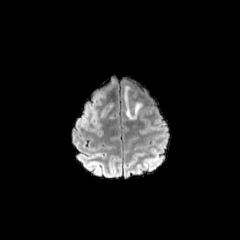
FLAIR MRI.
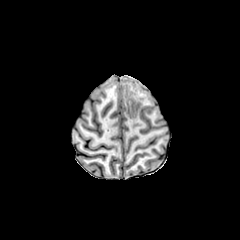
Same slice, T1-weighted MR image.
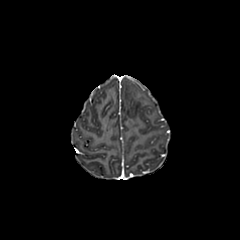
Post-contrast T1-weighted MRI.
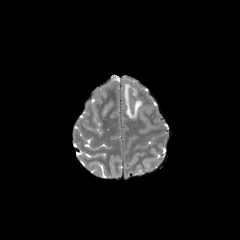
Same slice, T2-weighted MR image.
Brain
The peritumoral edema is bounded by <box>124,86,141,119</box>.